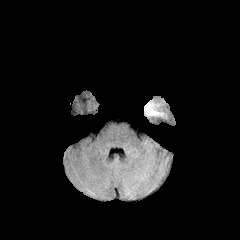
FLAIR magnetic resonance.
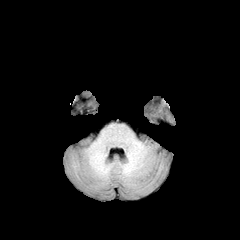
T1-weighted MRI of the same slice.
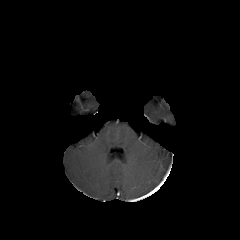
Post-contrast T1-weighted MR image.
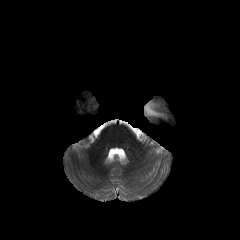
T2-weighted MR image.
Brain | Axial plane
Annotated regions:
- peritumoral edema: [144,100,163,116]